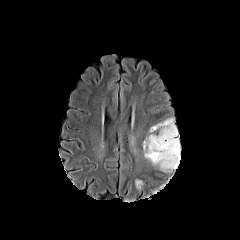
FLAIR MR.
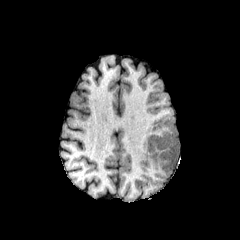
T1-weighted MRI of the same slice.
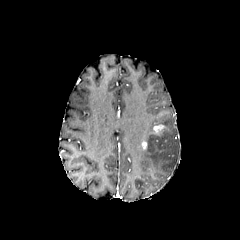
Same slice, post-contrast T1-weighted magnetic resonance.
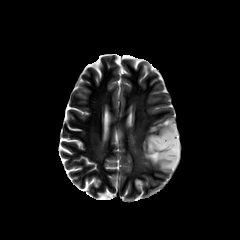
T2-weighted magnetic resonance.
240x240 px; Brain
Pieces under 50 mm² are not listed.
The largest enhancing tumor region is at <box>153,124,165,132</box>. 2 peritumoral edema regions are located at <box>143,117,180,172</box>, <box>134,178,143,189</box>.